Head; Slice index 39; Image size 240x240
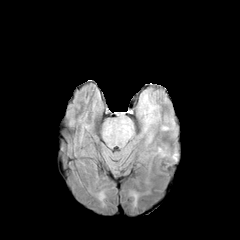
FLAIR MRI.
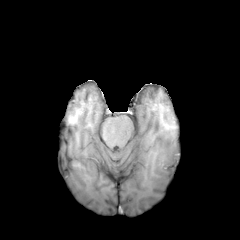
T1-weighted MRI.
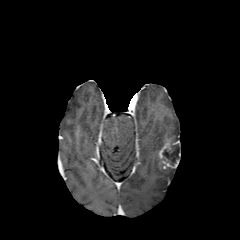
Post-contrast T1-weighted MRI.
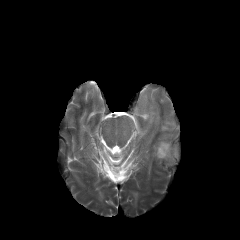
T2-weighted MRI.
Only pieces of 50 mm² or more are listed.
necrotic_tumor_core:
  - (x1=163, y1=143, x2=179, y2=165)
enhancing_tumor:
  - (x1=158, y1=140, x2=180, y2=167)
peritumoral_edema:
  - (x1=154, y1=137, x2=175, y2=157)
  - (x1=139, y1=95, x2=159, y2=131)